FLAIR MR.
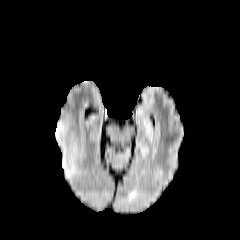
T1-weighted MR.
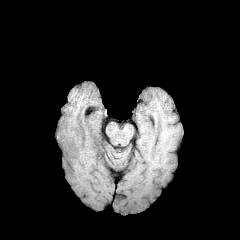
Post-contrast T1-weighted MR image.
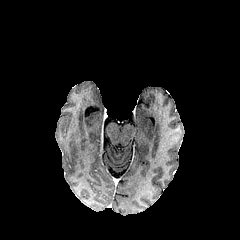
T2-weighted MR.
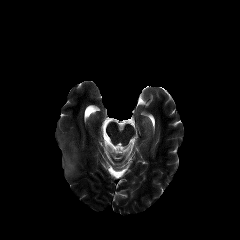
Head. 240x240.
{"peritumoral_edema": ["[x1=55, y1=122, x2=76, y2=177]"]}